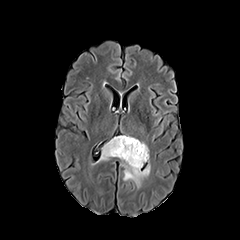
FLAIR MR image.
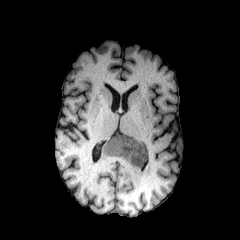
T1-weighted magnetic resonance.
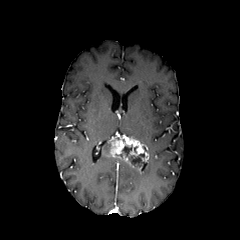
Post-contrast T1-weighted MR image.
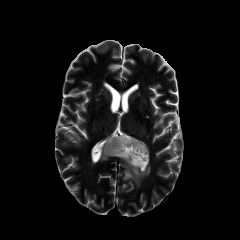
T2-weighted MR of the same slice.
Image size 240x240; Head
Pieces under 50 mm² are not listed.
necrotic tumor core: bbox=[122, 146, 132, 156]; bbox=[129, 153, 144, 167] | enhancing tumor: bbox=[106, 135, 149, 171] | peritumoral edema: bbox=[99, 142, 111, 161]; bbox=[122, 161, 150, 187]